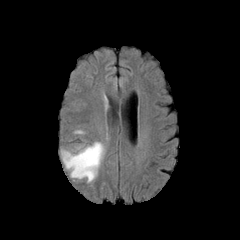
FLAIR magnetic resonance.
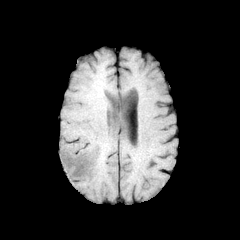
T1-weighted MR image of the same slice.
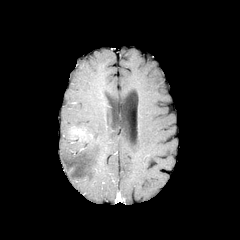
Post-contrast T1-weighted MR image.
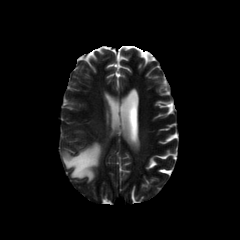
T2-weighted MR image of the same slice.
Image size 240x240
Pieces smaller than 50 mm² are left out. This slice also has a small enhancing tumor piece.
peritumoral edema = <bbox>61, 142, 104, 182</bbox>